FLAIR MRI.
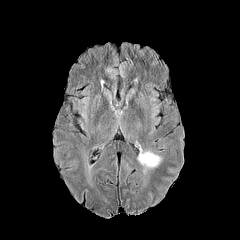
T1-weighted MRI.
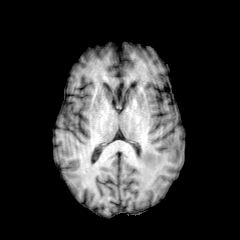
Post-contrast T1-weighted magnetic resonance.
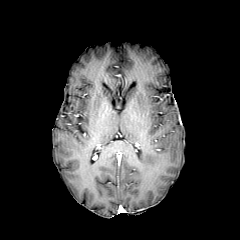
T2-weighted MR.
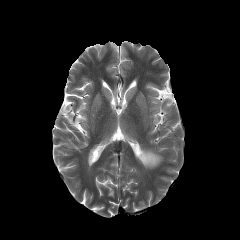
peritumoral edema: bounding box <bbox>138, 151, 161, 167</bbox>